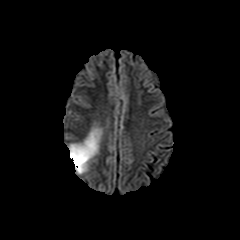
FLAIR magnetic resonance.
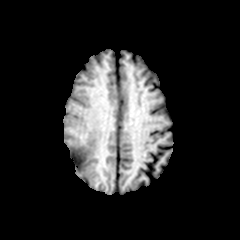
T1-weighted MRI of the same slice.
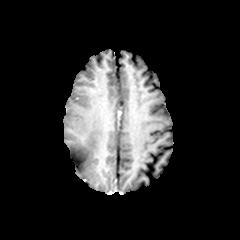
Same slice, post-contrast T1-weighted MR image.
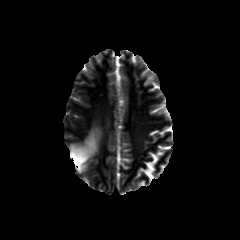
T2-weighted MR.
Head
peritumoral_edema:
  - [69,129,100,173]